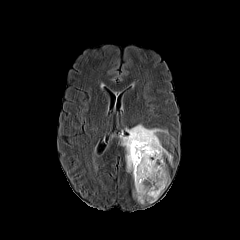
FLAIR magnetic resonance.
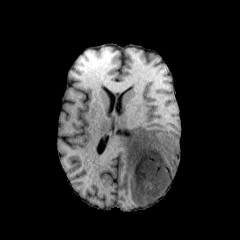
T1-weighted MR image.
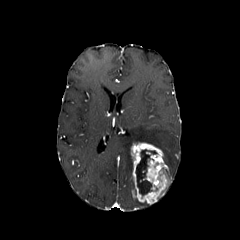
Post-contrast T1-weighted magnetic resonance.
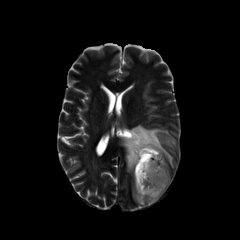
T2-weighted MRI of the same slice.
240x240, Axial slice
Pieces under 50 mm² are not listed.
* enhancing tumor: bbox=[130, 142, 170, 204]
* peritumoral edema: bbox=[121, 124, 172, 172]
* necrotic tumor core: bbox=[136, 149, 156, 195]